Image covers 240 mm x 240 mm. Axial slice. Brain. 240x240.
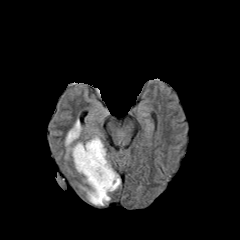
FLAIR MR image.
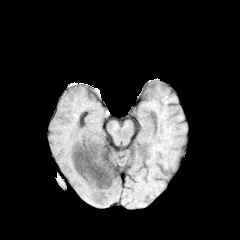
T1-weighted magnetic resonance.
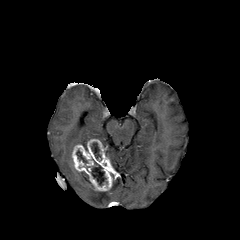
Post-contrast T1-weighted magnetic resonance of the same slice.
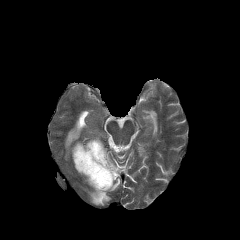
T2-weighted MRI of the same slice.
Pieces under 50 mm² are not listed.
The 3 largest peritumoral edema regions are bounded by {"x1": 80, "y1": 177, "x2": 120, "y2": 205}, {"x1": 65, "y1": 119, "x2": 86, "y2": 159}, {"x1": 90, "y1": 130, "x2": 101, "y2": 141}. The 3 largest necrotic tumor core regions appear at {"x1": 91, "y1": 165, "x2": 105, "y2": 185}, {"x1": 76, "y1": 150, "x2": 86, "y2": 162}, {"x1": 91, "y1": 142, "x2": 100, "y2": 158}. The enhancing tumor is bounded by {"x1": 71, "y1": 139, "x2": 119, "y2": 191}.